Image width 240 mm, 1.00 mm slice spacing | Axial view | Brain
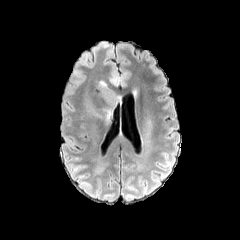
FLAIR MR.
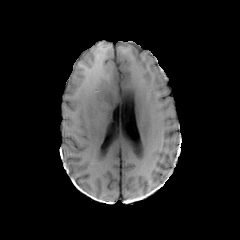
Same slice, T1-weighted MRI.
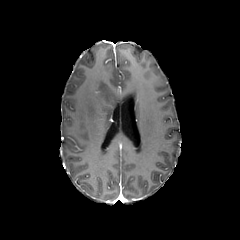
Post-contrast T1-weighted MR.
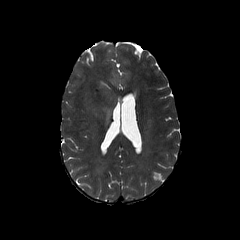
T2-weighted MR of the same slice.
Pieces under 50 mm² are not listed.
peritumoral_edema:
  - x1=83, y1=80, x2=118, y2=123